FLAIR MR image.
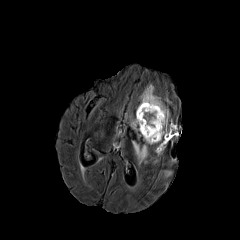
T1-weighted MR.
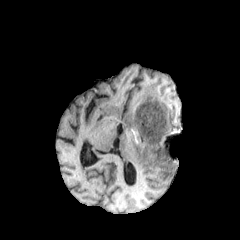
Post-contrast T1-weighted MRI.
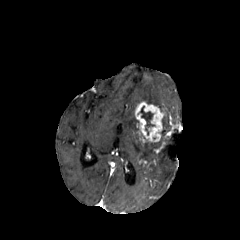
T2-weighted MR image.
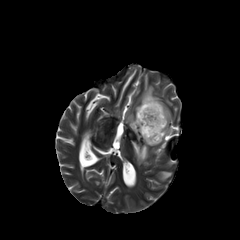
Head; Axial view
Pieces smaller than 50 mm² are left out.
The 5 largest peritumoral edema regions are bounded by left=132, top=141, right=158, bottom=162; left=159, top=109, right=177, bottom=143; left=160, top=171, right=171, bottom=177; left=130, top=118, right=138, bottom=131; left=140, top=84, right=165, bottom=111. The necrotic tumor core is located at left=140, top=106, right=154, bottom=134. 3 enhancing tumor regions are located at left=135, top=101, right=167, bottom=142; left=155, top=141, right=166, bottom=153; left=164, top=122, right=177, bottom=139.